Axial view. Brain.
FLAIR magnetic resonance.
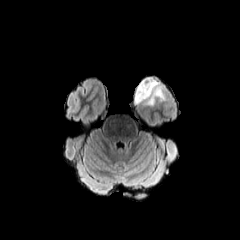
T1-weighted MR.
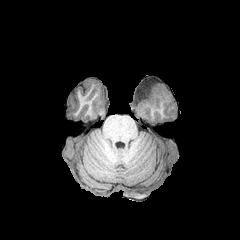
Post-contrast T1-weighted magnetic resonance.
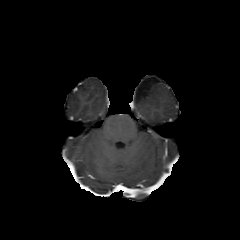
T2-weighted MRI.
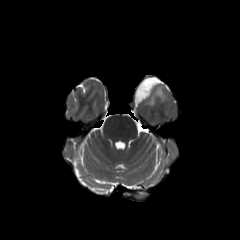
The peritumoral edema is bounded by <box>134,77,164,106</box>.